FLAIR MR.
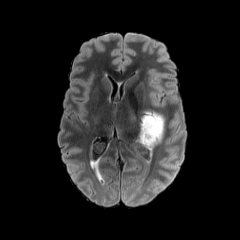
T1-weighted magnetic resonance.
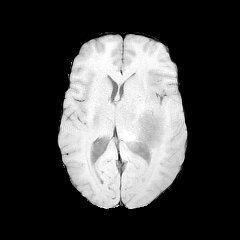
Post-contrast T1-weighted magnetic resonance.
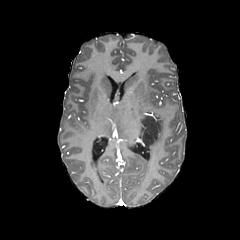
T2-weighted MRI.
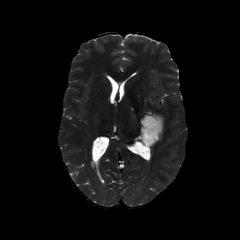
Image size 240x240 | Axial plane | Head
peritumoral edema: (left=139, top=111, right=164, bottom=149)